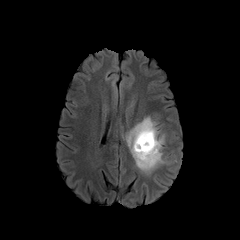
FLAIR MRI.
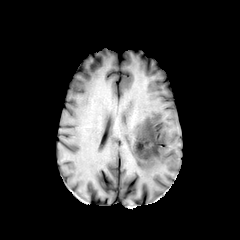
Same slice, T1-weighted MR image.
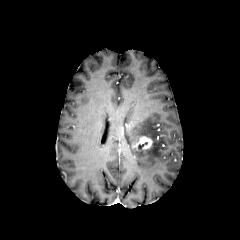
Post-contrast T1-weighted MR image.
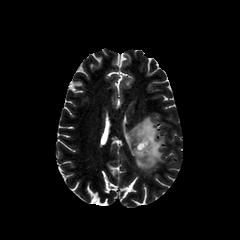
T2-weighted MR image of the same slice.
240x240 px. Axial plane.
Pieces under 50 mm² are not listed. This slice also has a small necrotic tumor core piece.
peritumoral edema: <bbox>126, 116, 165, 173</bbox> | enhancing tumor: <bbox>133, 136, 152, 151</bbox>